FLAIR MRI.
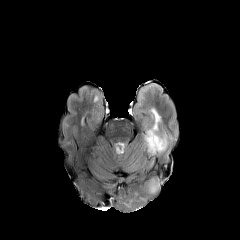
T1-weighted MRI.
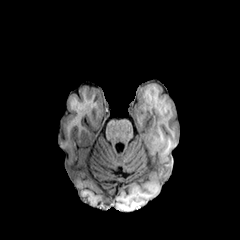
Post-contrast T1-weighted MR image.
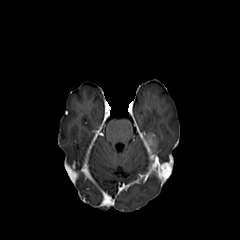
T2-weighted magnetic resonance.
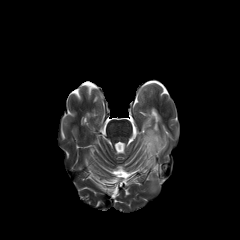
Axial view, Brain
2 peritumoral edema regions are bounded by region(156, 135, 164, 150); region(147, 113, 159, 134). The enhancing tumor is located at region(144, 133, 157, 154).